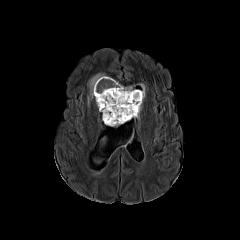
FLAIR magnetic resonance.
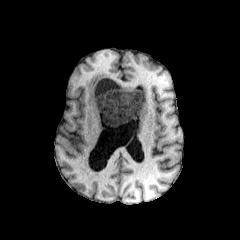
T1-weighted magnetic resonance.
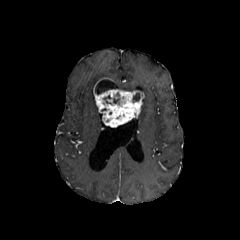
Post-contrast T1-weighted magnetic resonance.
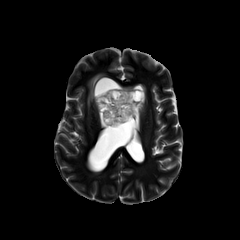
T2-weighted magnetic resonance.
Head
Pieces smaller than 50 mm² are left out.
Annotated regions:
* enhancing tumor: l=93, t=78, r=144, b=127
* necrotic tumor core: l=95, t=79, r=118, b=94; l=133, t=93, r=139, b=102
* peritumoral edema: l=114, t=80, r=135, b=91; l=87, t=73, r=109, b=105